Image size 240x240. Image covers 240 mm x 240 mm.
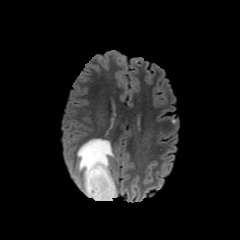
FLAIR magnetic resonance.
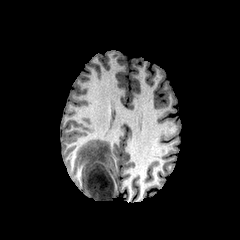
T1-weighted magnetic resonance of the same slice.
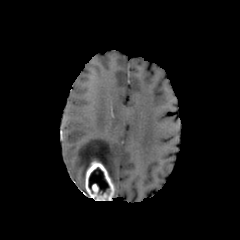
Post-contrast T1-weighted MR image.
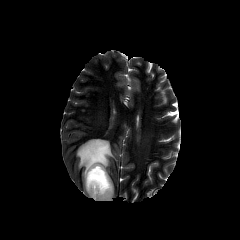
T2-weighted MR image.
{"peritumoral_edema": ["77,139,116,197"], "necrotic_tumor_core": ["88,167,109,194"], "enhancing_tumor": ["85,159,114,200"]}